Head | Slice 67/155
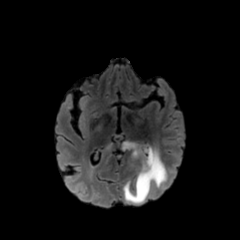
FLAIR MR.
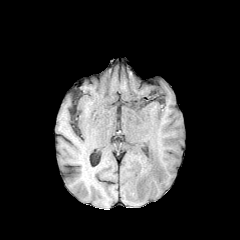
Same slice, T1-weighted magnetic resonance.
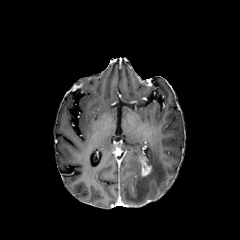
Post-contrast T1-weighted MRI.
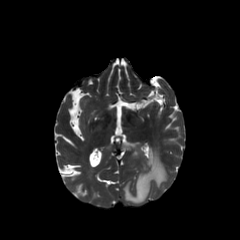
T2-weighted MR.
{"enhancing_tumor": ["bbox(141, 158, 151, 176)"], "peritumoral_edema": ["bbox(122, 141, 166, 203)"]}